FLAIR MR image.
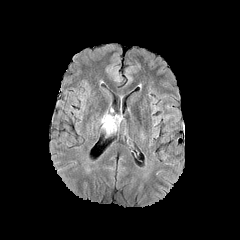
T1-weighted MRI.
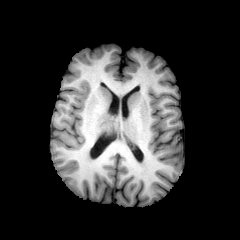
Post-contrast T1-weighted MRI.
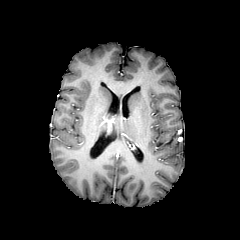
T2-weighted MR.
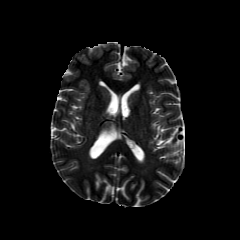
Brain. Axial plane.
<segmentation>
  <peritumoral_edema>[103, 116, 114, 130]</peritumoral_edema>
</segmentation>